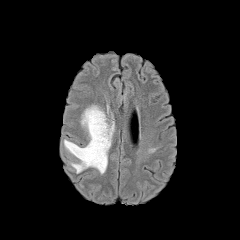
FLAIR MR.
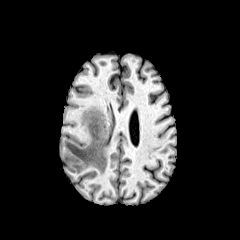
T1-weighted MRI of the same slice.
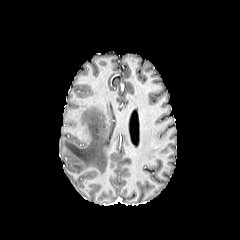
Post-contrast T1-weighted MRI.
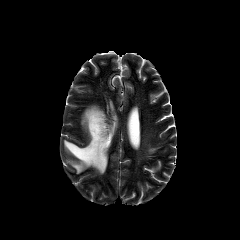
T2-weighted magnetic resonance.
Image size 240x240, Brain
The peritumoral edema is at x1=64, y1=105, x2=113, y2=173.